FLAIR MRI.
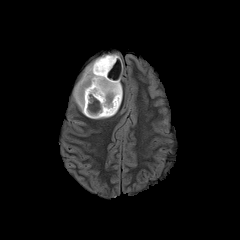
T1-weighted MRI.
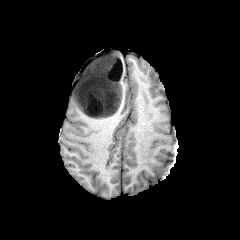
Post-contrast T1-weighted MR.
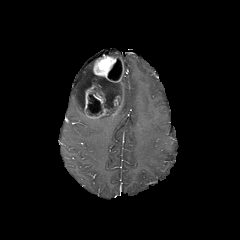
T2-weighted MR image.
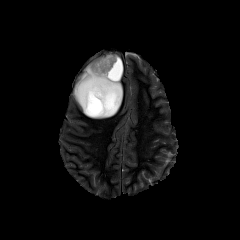
Head
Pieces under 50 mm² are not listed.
The 2 largest peritumoral edema regions are bounded by x1=73 y1=61 x2=94 y2=115, x1=119 y1=81 x2=123 y2=104. 3 enhancing tumor regions appear at x1=93 y1=55 x2=123 y2=82, x1=84 y1=84 x2=109 y2=118, x1=112 y1=96 x2=120 y2=115. The 3 largest necrotic tumor core regions are located at x1=108 y1=58 x2=122 y2=80, x1=86 y1=94 x2=102 y2=115, x1=91 y1=74 x2=120 y2=114.